Head.
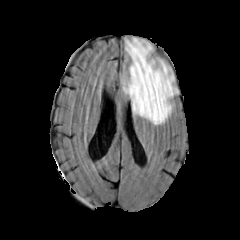
FLAIR MR image.
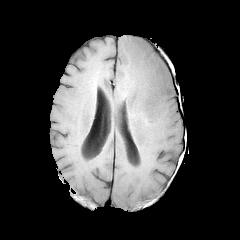
T1-weighted magnetic resonance.
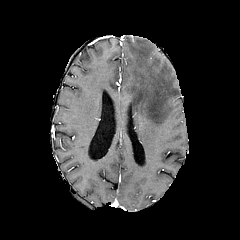
Post-contrast T1-weighted MR image of the same slice.
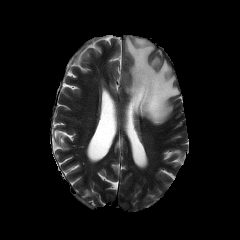
Same slice, T2-weighted magnetic resonance.
Segmented structures:
- peritumoral edema: 122, 37, 176, 125